Brain; 240x240; Image width 240 mm; Axial view
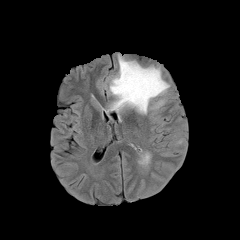
FLAIR MRI.
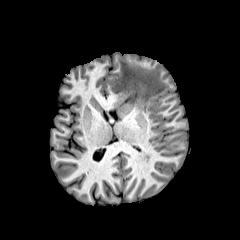
Same slice, T1-weighted MR image.
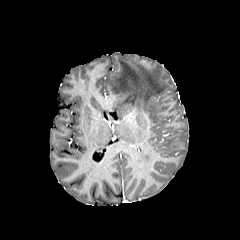
Same slice, post-contrast T1-weighted magnetic resonance.
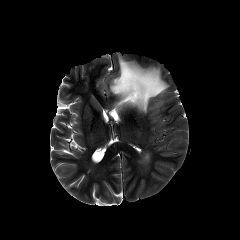
T2-weighted magnetic resonance.
{"peritumoral_edema": ["left=104, top=55, right=169, bottom=113"]}